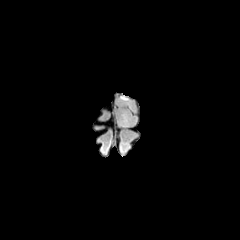
FLAIR MR image.
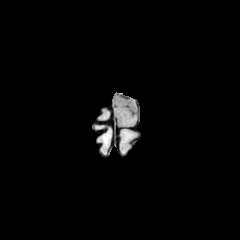
T1-weighted MR image.
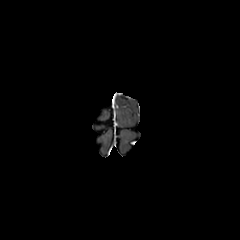
Post-contrast T1-weighted magnetic resonance of the same slice.
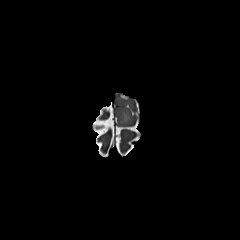
T2-weighted magnetic resonance of the same slice.
Brain, Axial plane
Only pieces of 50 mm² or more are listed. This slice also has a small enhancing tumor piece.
peritumoral edema: bbox=[116, 95, 135, 125]